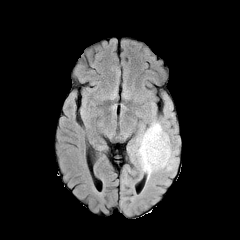
FLAIR MR.
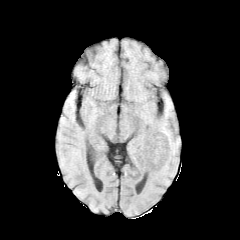
Same slice, T1-weighted MR image.
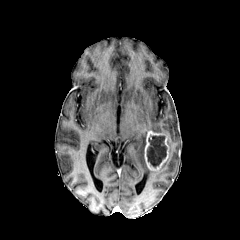
Post-contrast T1-weighted MR image.
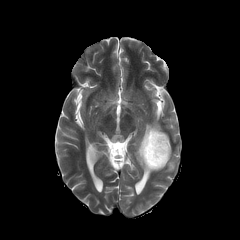
T2-weighted magnetic resonance.
Brain.
The necrotic tumor core lies within 147,136,166,167. The enhancing tumor lies within 144,130,170,170. The peritumoral edema appears at 136,121,177,177.